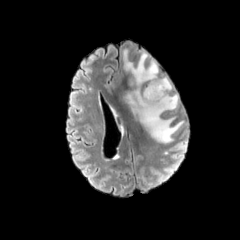
FLAIR MR.
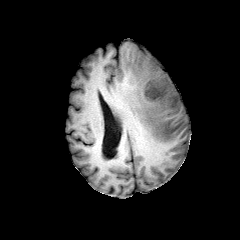
T1-weighted MR.
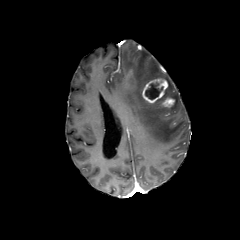
Same slice, post-contrast T1-weighted MR.
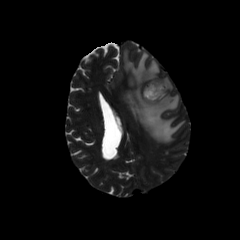
T2-weighted MR image of the same slice.
Axial plane. 240x240 px. Head.
enhancing tumor = {"x1": 142, "y1": 78, "x2": 175, "y2": 107}
peritumoral edema = {"x1": 122, "y1": 49, "x2": 183, "y2": 143}
necrotic tumor core = {"x1": 145, "y1": 82, "x2": 163, "y2": 99}